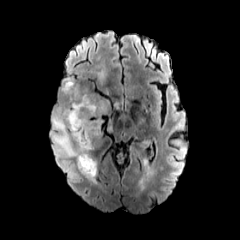
FLAIR MRI.
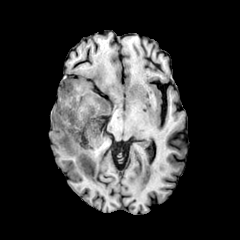
T1-weighted MR.
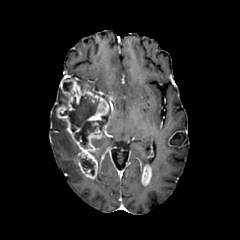
Post-contrast T1-weighted magnetic resonance.
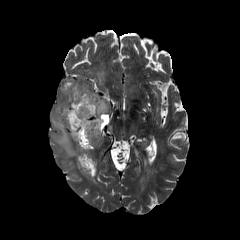
T2-weighted magnetic resonance.
Brain
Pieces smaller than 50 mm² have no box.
peritumoral_edema:
  - left=51, top=111, right=79, bottom=158
  - left=97, top=70, right=105, bottom=83
enhancing_tumor:
  - left=141, top=164, right=151, bottom=186
  - left=56, top=76, right=113, bottom=179
necrotic_tumor_core:
  - left=63, top=82, right=72, bottom=91
  - left=60, top=95, right=103, bottom=147
  - left=79, top=157, right=94, bottom=175
  - left=60, top=93, right=67, bottom=105